FLAIR magnetic resonance.
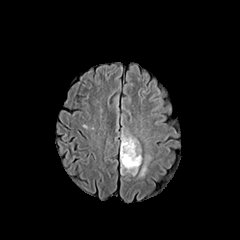
T1-weighted MRI.
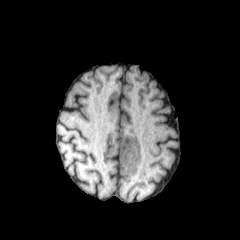
Post-contrast T1-weighted MRI.
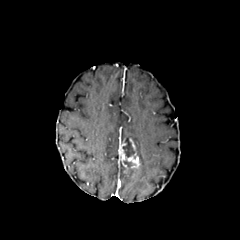
T2-weighted MR image.
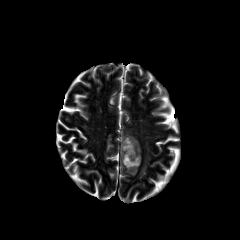
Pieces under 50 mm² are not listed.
necrotic tumor core: region(122, 137, 134, 157)
enhancing tumor: region(119, 138, 140, 173)
peritumoral edema: region(121, 128, 141, 161); region(139, 154, 151, 176)